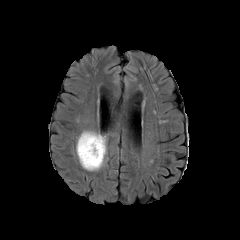
FLAIR MR image.
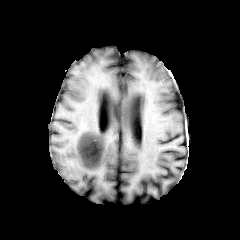
T1-weighted MRI of the same slice.
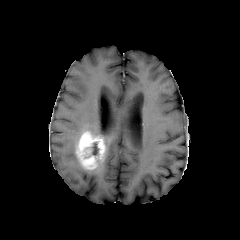
Post-contrast T1-weighted MRI.
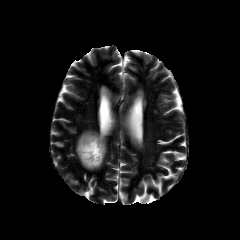
T2-weighted MR of the same slice.
240x240 px
2 peritumoral edema regions are bounded by 87:135:107:171, 76:130:100:146. The necrotic tumor core appears at 92:143:98:155. The enhancing tumor appears at 76:131:105:169.